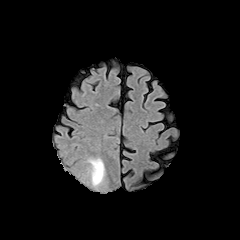
FLAIR magnetic resonance.
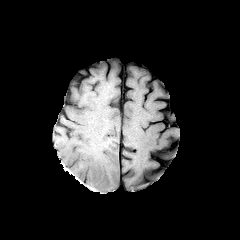
Same slice, T1-weighted MR image.
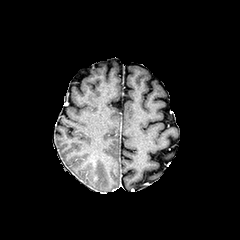
Post-contrast T1-weighted MRI.
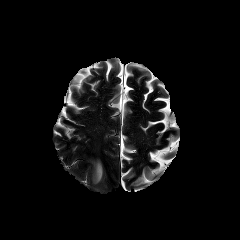
T2-weighted MR.
Axial view
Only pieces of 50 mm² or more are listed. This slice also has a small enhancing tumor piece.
peritumoral edema at [x1=89, y1=159, x2=104, y2=186]